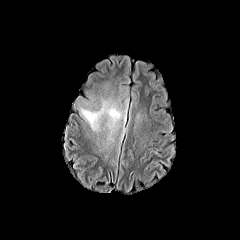
FLAIR magnetic resonance.
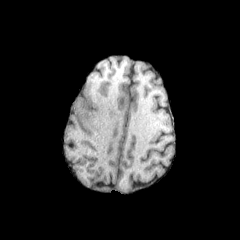
T1-weighted MR image of the same slice.
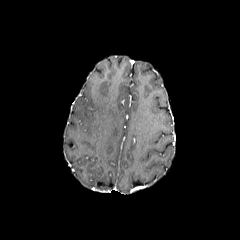
Same slice, post-contrast T1-weighted MRI.
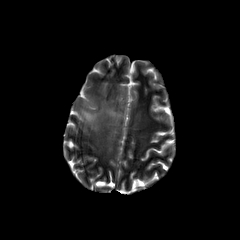
T2-weighted MRI.
Head
peritumoral edema: x1=79 y1=100 x2=127 y2=131